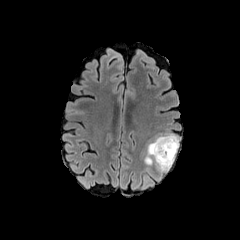
FLAIR magnetic resonance.
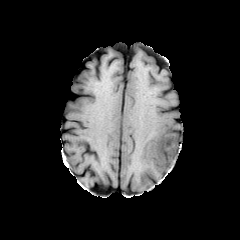
T1-weighted magnetic resonance.
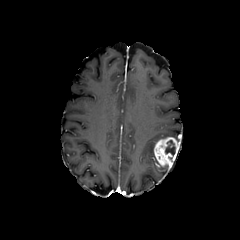
Same slice, post-contrast T1-weighted MR.
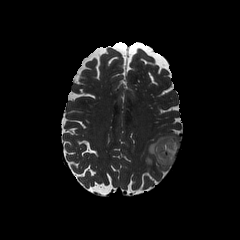
Same slice, T2-weighted MR.
Head; 240x240
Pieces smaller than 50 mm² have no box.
The largest peritumoral edema region is bounded by rect(144, 134, 180, 165). The necrotic tumor core is bounded by rect(165, 140, 175, 155). The largest enhancing tumor region is located at rect(153, 137, 179, 169).